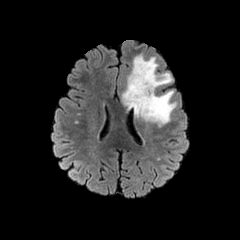
FLAIR MR image.
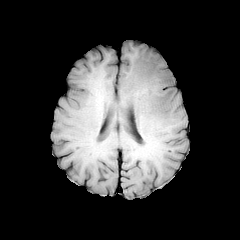
Same slice, T1-weighted magnetic resonance.
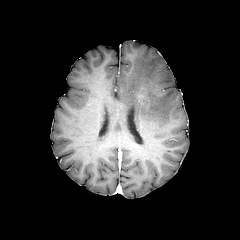
Post-contrast T1-weighted MR image of the same slice.
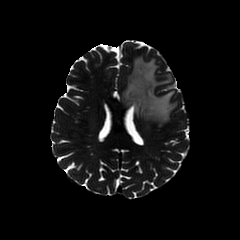
T2-weighted MR.
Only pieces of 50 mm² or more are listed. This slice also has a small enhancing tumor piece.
• peritumoral edema: x1=122 y1=55 x2=176 y2=125